FLAIR MR image.
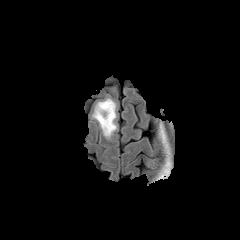
T1-weighted magnetic resonance.
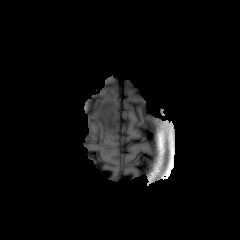
Post-contrast T1-weighted MR image.
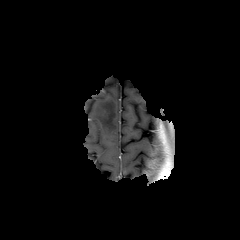
T2-weighted MRI.
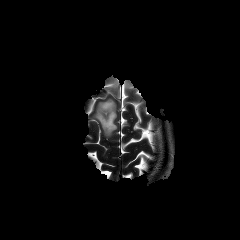
Brain.
Annotated regions:
- peritumoral edema: {"x1": 92, "y1": 98, "x2": 117, "y2": 139}